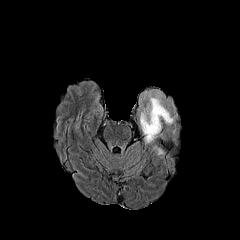
FLAIR magnetic resonance.
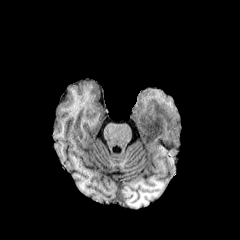
T1-weighted MR.
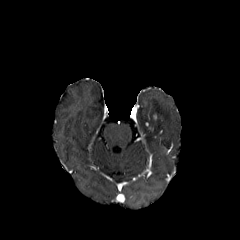
Post-contrast T1-weighted magnetic resonance of the same slice.
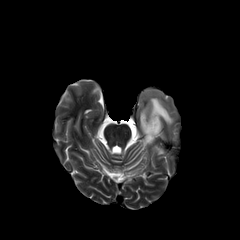
T2-weighted MRI.
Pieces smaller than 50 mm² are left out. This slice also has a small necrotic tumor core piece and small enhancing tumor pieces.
peritumoral edema — [x1=139, y1=90, x2=176, y2=143]